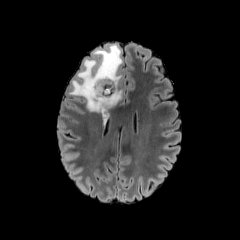
FLAIR magnetic resonance.
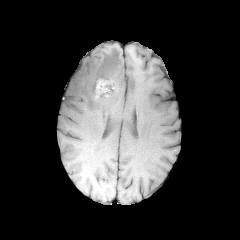
Same slice, T1-weighted MRI.
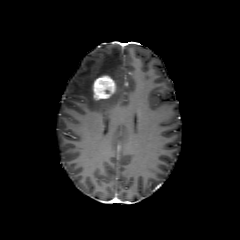
Same slice, post-contrast T1-weighted magnetic resonance.
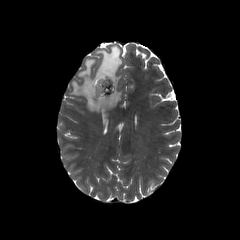
Same slice, T2-weighted MRI.
Head
{"peritumoral_edema": [{"x1": 69, "y1": 44, "x2": 122, "y2": 118}], "enhancing_tumor": [{"x1": 92, "y1": 75, "x2": 116, "y2": 100}], "necrotic_tumor_core": [{"x1": 97, "y1": 80, "x2": 111, "y2": 94}]}